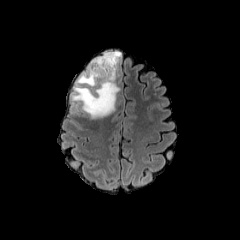
FLAIR MR.
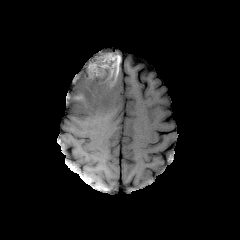
T1-weighted MR.
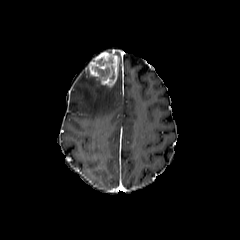
Post-contrast T1-weighted MRI of the same slice.
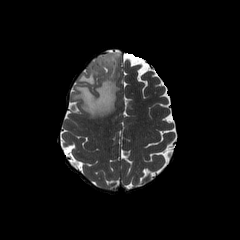
Same slice, T2-weighted MR.
Axial view
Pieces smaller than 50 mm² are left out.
Segmented structures:
- enhancing tumor: (left=87, top=52, right=119, bottom=87)
- necrotic tumor core: (left=92, top=66, right=103, bottom=74)
- peritumoral edema: (left=72, top=70, right=120, bottom=118)